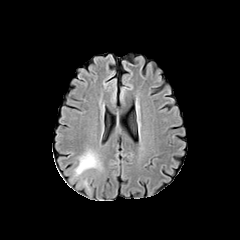
FLAIR MR image.
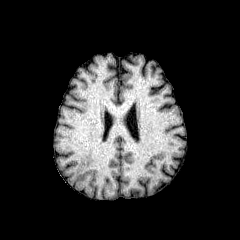
T1-weighted MR of the same slice.
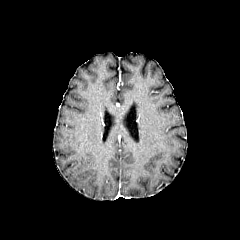
Same slice, post-contrast T1-weighted MRI.
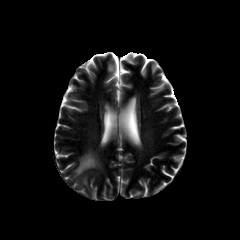
T2-weighted magnetic resonance.
Axial view
The peritumoral edema lies within 75, 151, 98, 174.